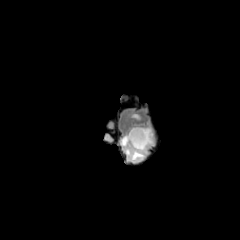
FLAIR MR.
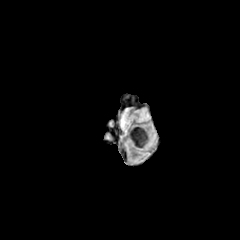
T1-weighted MR.
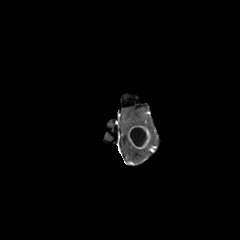
Post-contrast T1-weighted MR.
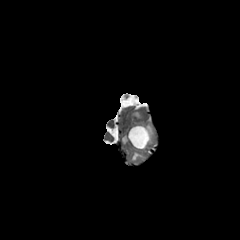
T2-weighted MR.
240x240 | Head | Axial slice
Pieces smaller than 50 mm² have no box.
{"peritumoral_edema": ["left=121, top=134, right=147, bottom=161"], "enhancing_tumor": ["left=128, top=125, right=151, bottom=149"], "necrotic_tumor_core": ["left=130, top=127, right=146, bottom=146"]}